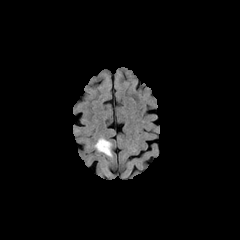
FLAIR MR.
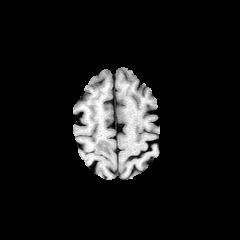
T1-weighted MR image.
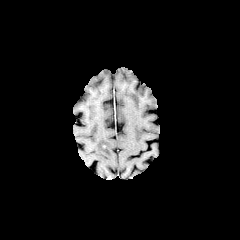
Post-contrast T1-weighted magnetic resonance of the same slice.
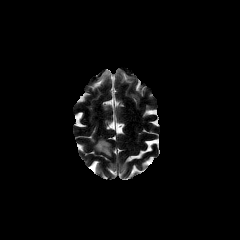
Same slice, T2-weighted MR.
Image size 240x240. Brain. Axial view.
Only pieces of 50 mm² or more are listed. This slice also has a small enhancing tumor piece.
peritumoral_edema:
  - box(94, 138, 112, 157)